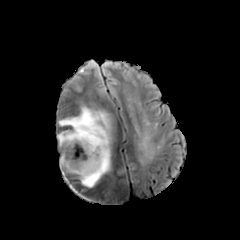
FLAIR MRI.
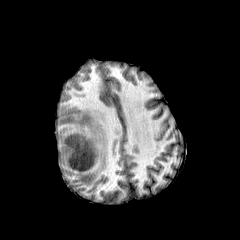
Same slice, T1-weighted MR.
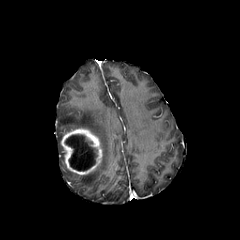
Post-contrast T1-weighted magnetic resonance.
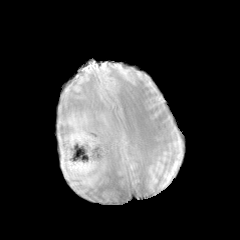
T2-weighted magnetic resonance.
Axial slice
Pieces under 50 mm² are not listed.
enhancing tumor: (60, 128, 102, 174) | peritumoral edema: (58, 107, 111, 187), (57, 130, 68, 149) | necrotic tumor core: (65, 135, 97, 170)